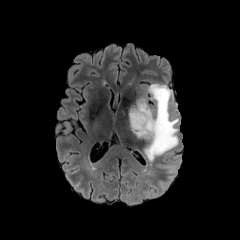
FLAIR MRI.
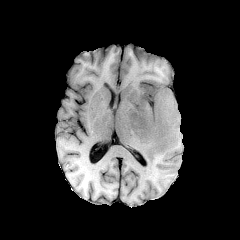
T1-weighted MR.
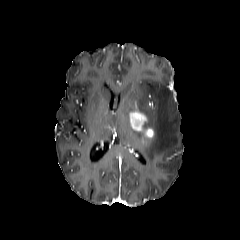
Post-contrast T1-weighted MR of the same slice.
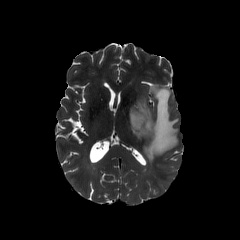
T2-weighted magnetic resonance of the same slice.
Brain. Axial view.
Findings:
- peritumoral edema: <box>129,83,179,161</box>
- enhancing tumor: <box>129,109,154,138</box>